Head
FLAIR MR image.
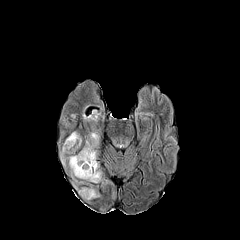
T1-weighted MR.
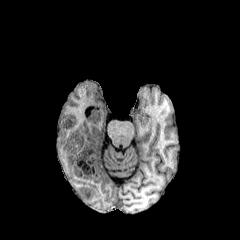
Post-contrast T1-weighted MR image.
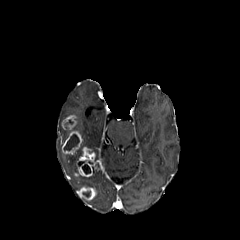
T2-weighted MR image.
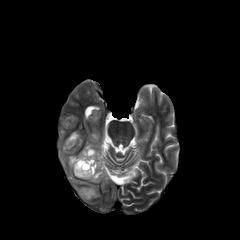
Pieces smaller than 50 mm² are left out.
Annotated regions:
* enhancing tumor: (left=74, top=147, right=101, bottom=176), (left=62, top=131, right=82, bottom=154), (left=62, top=115, right=76, bottom=129), (left=77, top=187, right=96, bottom=200)
* peritumoral edema: (left=83, top=110, right=100, bottom=121), (left=77, top=170, right=101, bottom=183), (left=86, top=132, right=99, bottom=149), (left=60, top=151, right=82, bottom=176)
* necrotic tumor core: (left=82, top=164, right=90, bottom=174), (left=64, top=134, right=79, bottom=150)